Axial slice; Slice 90/155; Image size 240x240
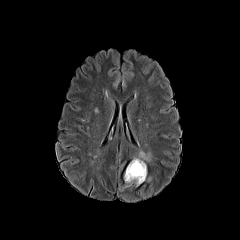
FLAIR magnetic resonance.
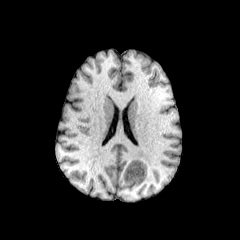
T1-weighted MR.
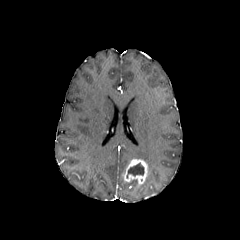
Post-contrast T1-weighted magnetic resonance of the same slice.
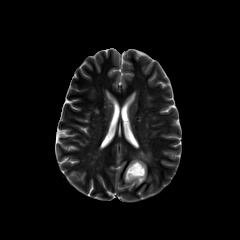
T2-weighted MR.
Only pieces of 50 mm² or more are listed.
{
  "peritumoral_edema": [
    "124:181:137:187",
    "133:151:151:162"
  ],
  "enhancing_tumor": [
    "123:159:147:185"
  ],
  "necrotic_tumor_core": [
    "127:163:144:178"
  ]
}